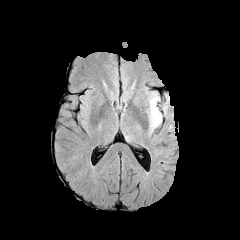
FLAIR MRI.
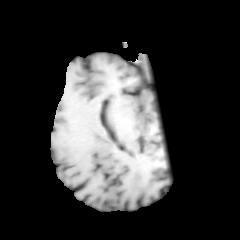
Same slice, T1-weighted MRI.
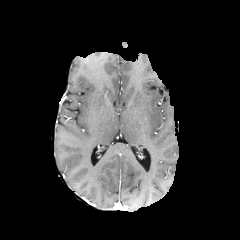
Post-contrast T1-weighted MR image.
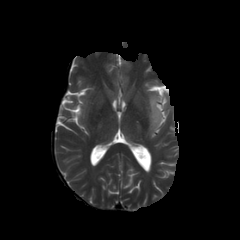
Same slice, T2-weighted MRI.
Brain.
The peritumoral edema lies within [x1=148, y1=92, x2=161, y2=132].